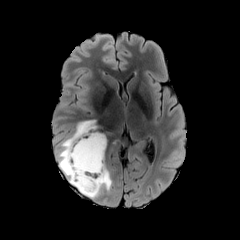
FLAIR MR.
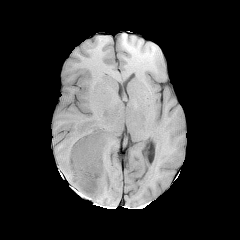
T1-weighted magnetic resonance.
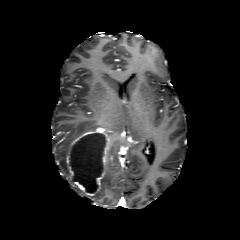
Post-contrast T1-weighted MR.
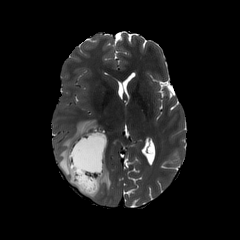
T2-weighted magnetic resonance.
240x240. Axial plane.
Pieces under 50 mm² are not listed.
Annotated regions:
- enhancing tumor: bbox(65, 138, 109, 196); bbox(69, 131, 98, 149)
- peritumoral edema: bbox(56, 120, 96, 185); bbox(89, 164, 111, 198)
- necrotic tumor core: bbox(69, 133, 106, 192)